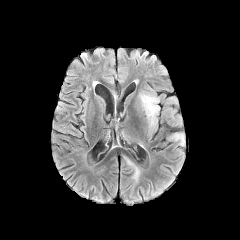
FLAIR magnetic resonance.
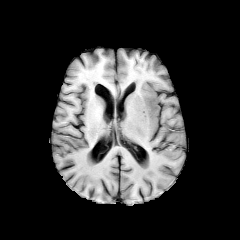
T1-weighted MRI of the same slice.
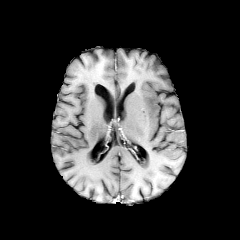
Post-contrast T1-weighted magnetic resonance.
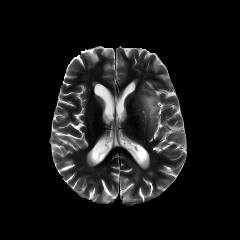
T2-weighted MR image.
Brain; Axial view
peritumoral edema: bounding box 139, 92, 159, 130